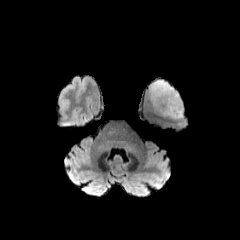
FLAIR magnetic resonance.
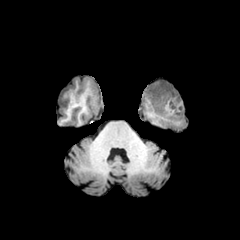
T1-weighted magnetic resonance of the same slice.
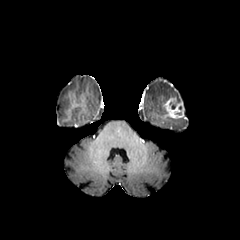
Post-contrast T1-weighted MRI.
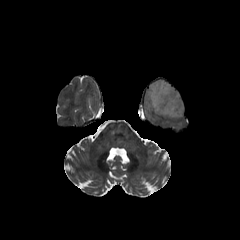
T2-weighted MRI of the same slice.
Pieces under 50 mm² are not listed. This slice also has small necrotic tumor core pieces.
enhancing tumor: 163 97 184 118 | peritumoral edema: 148 80 180 115